Brain | 240x240 | Slice 89 of 155
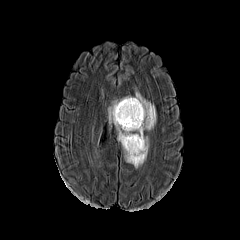
FLAIR MR.
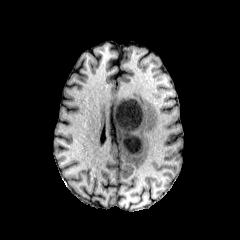
Same slice, T1-weighted magnetic resonance.
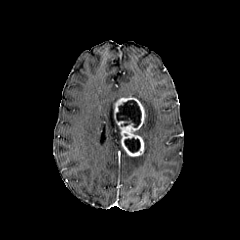
Same slice, post-contrast T1-weighted magnetic resonance.
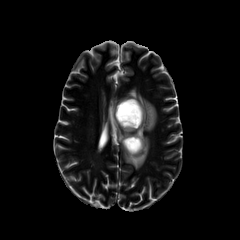
T2-weighted MR image.
peritumoral edema at (108,100,121,141), (124,92,156,168)
necrotic tumor core at (116,100,141,127), (124,137,140,152)
enhancing tumor at (114,96,145,156)